Image size 240x240, Image width 240 mm, 1.00 mm slice spacing, Axial plane, Head
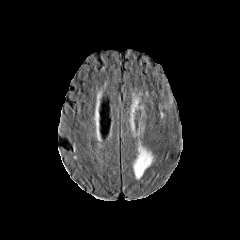
FLAIR MRI.
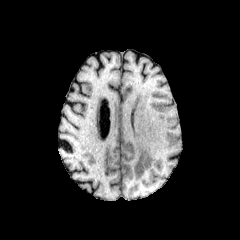
Same slice, T1-weighted magnetic resonance.
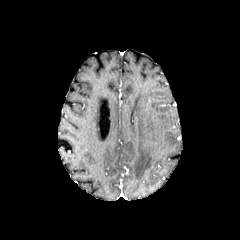
Post-contrast T1-weighted MR of the same slice.
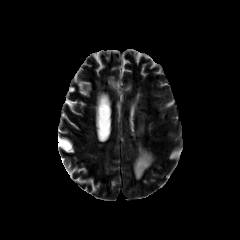
T2-weighted MR image.
{"peritumoral_edema": ["133 145 153 179"]}